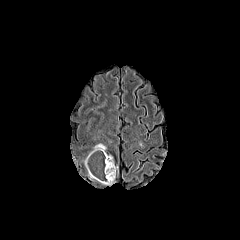
FLAIR MRI.
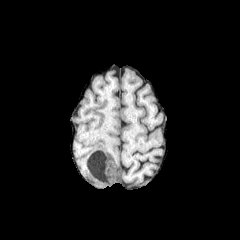
T1-weighted MRI of the same slice.
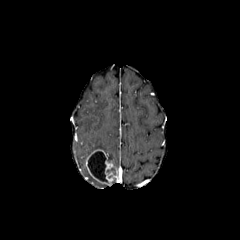
Same slice, post-contrast T1-weighted MR image.
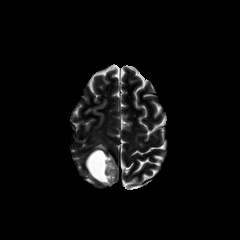
T2-weighted MRI of the same slice.
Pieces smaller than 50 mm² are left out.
peritumoral edema = x1=94, y1=144, x2=106, y2=150
necrotic tumor core = x1=88, y1=151, x2=107, y2=181
enhancing tumor = x1=85, y1=149, x2=118, y2=184